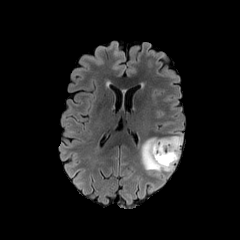
FLAIR MRI.
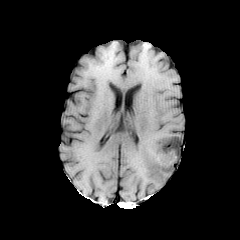
T1-weighted MR image of the same slice.
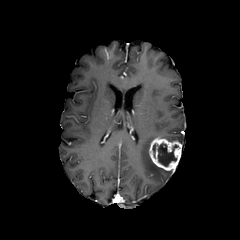
Same slice, post-contrast T1-weighted MRI.
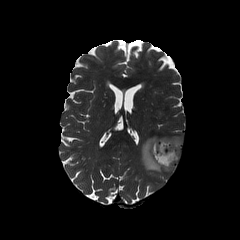
T2-weighted MRI.
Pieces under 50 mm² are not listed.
enhancing tumor at bbox=[149, 137, 181, 170]
peritumoral edema at bbox=[160, 134, 182, 143]; bbox=[141, 136, 173, 179]
necrotic tumor core at bbox=[158, 143, 178, 166]